FLAIR MR image.
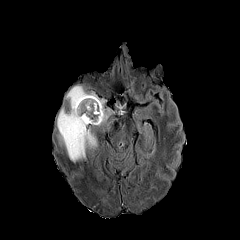
T1-weighted MRI.
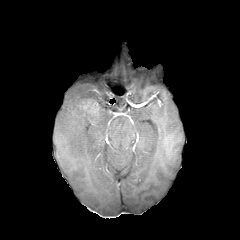
Post-contrast T1-weighted magnetic resonance.
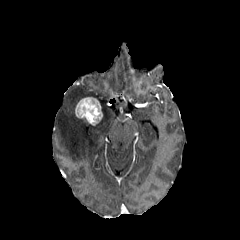
T2-weighted MRI.
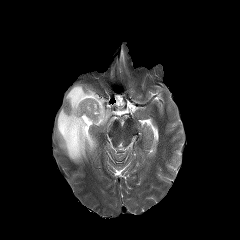
Brain.
<segmentation>
  <enhancing_tumor>l=75, t=97, r=102, b=125</enhancing_tumor>
  <peritumoral_edema>l=57, t=85, r=111, b=162</peritumoral_edema>
</segmentation>